FLAIR magnetic resonance.
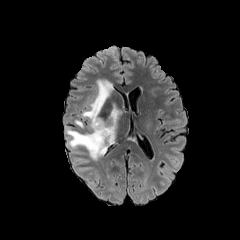
T1-weighted MRI.
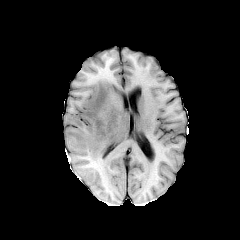
Post-contrast T1-weighted magnetic resonance.
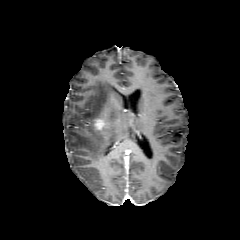
T2-weighted magnetic resonance.
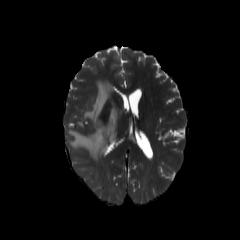
240x240; Axial slice; Brain
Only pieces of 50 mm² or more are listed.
<segmentation>
  <enhancing_tumor>(94, 118, 114, 136)</enhancing_tumor>
  <peritumoral_edema>(66, 79, 120, 160), (74, 158, 88, 163)</peritumoral_edema>
</segmentation>